FLAIR MR.
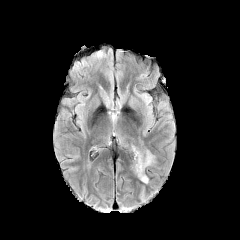
T1-weighted MR image.
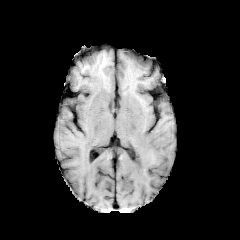
Post-contrast T1-weighted MR.
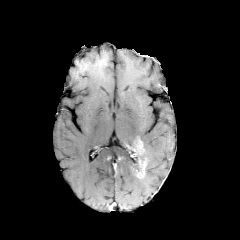
T2-weighted MRI.
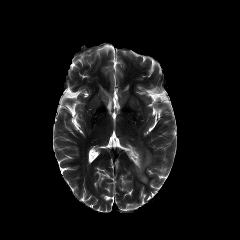
Image size 240x240. Axial view.
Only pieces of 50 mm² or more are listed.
enhancing tumor = (x1=137, y1=160, x2=146, y2=177)
peritumoral edema = (x1=133, y1=146, x2=152, y2=166)